FLAIR MR.
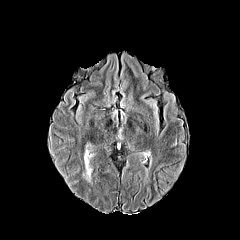
T1-weighted MR image.
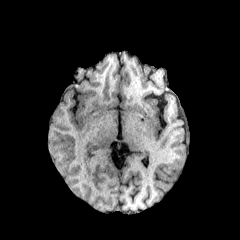
Post-contrast T1-weighted MR.
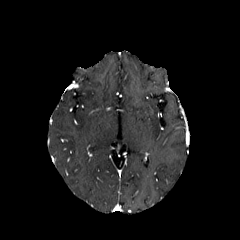
T2-weighted MR.
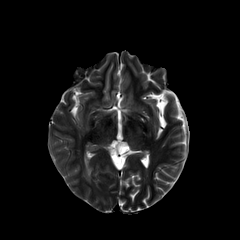
Head.
Annotated regions:
• peritumoral edema: 84, 153, 91, 179